240x240; Head; Slice 95/155
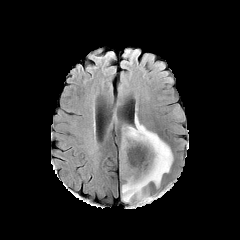
FLAIR MRI.
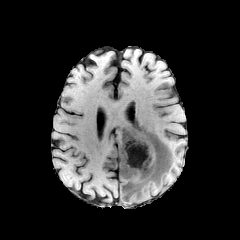
T1-weighted MR.
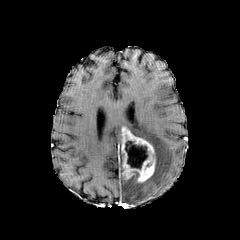
Post-contrast T1-weighted MR.
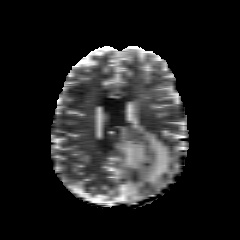
T2-weighted MRI.
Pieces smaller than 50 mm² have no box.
The enhancing tumor appears at 121,127,155,182. The 2 largest peritumoral edema regions are located at 121,117,172,202; 120,145,122,174. The necrotic tumor core is located at 125,141,148,169.